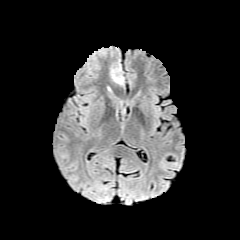
FLAIR MRI.
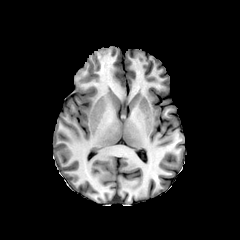
Same slice, T1-weighted MR.
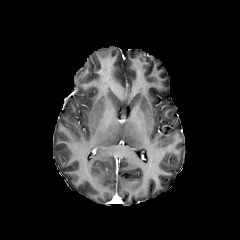
Post-contrast T1-weighted MR.
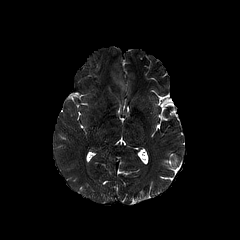
Same slice, T2-weighted MR.
240x240 px; Brain; Axial plane
<segmentation>
  <peritumoral_edema>112 74 123 83</peritumoral_edema>
</segmentation>